Image width 240 mm | Slice 40/155 | Axial view | Brain | 240x240
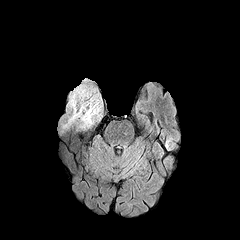
FLAIR MR.
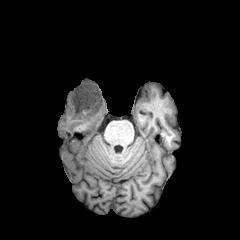
T1-weighted MRI of the same slice.
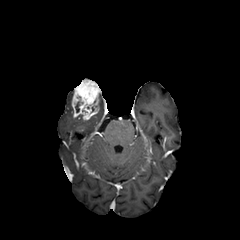
Post-contrast T1-weighted MR.
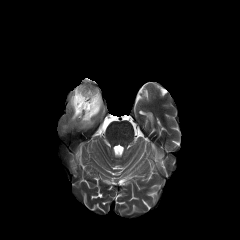
T2-weighted MR.
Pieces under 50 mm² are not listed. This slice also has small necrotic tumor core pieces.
Annotated regions:
• peritumoral edema: left=63, top=94, right=102, bottom=128; left=67, top=90, right=73, bottom=109
• enhancing tumor: left=71, top=79, right=100, bottom=120